FLAIR MRI.
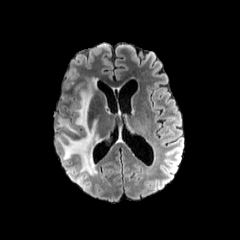
T1-weighted magnetic resonance.
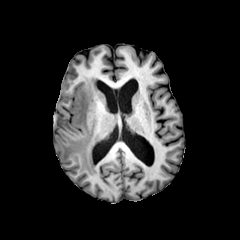
Post-contrast T1-weighted MR.
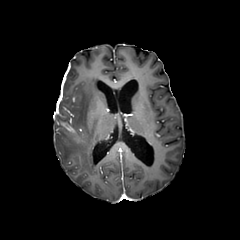
T2-weighted MR.
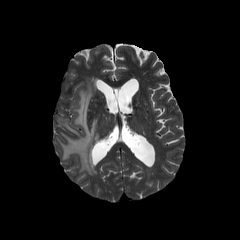
Axial view, Brain
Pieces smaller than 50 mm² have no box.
peritumoral edema = (left=57, top=79, right=100, bottom=175)
enhancing tumor = (left=60, top=122, right=76, bottom=133)